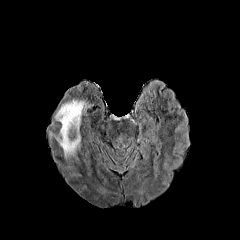
FLAIR magnetic resonance.
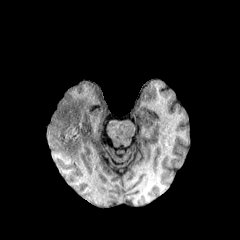
T1-weighted MR of the same slice.
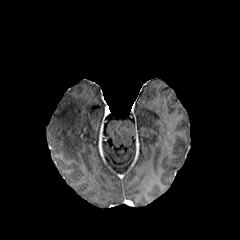
Post-contrast T1-weighted MR image of the same slice.
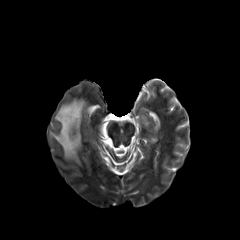
T2-weighted MRI.
Axial slice; Brain
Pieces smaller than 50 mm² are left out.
The largest peritumoral edema region appears at region(55, 99, 88, 157).